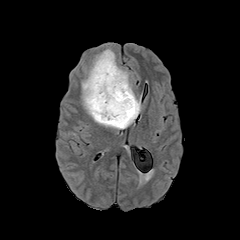
FLAIR MR.
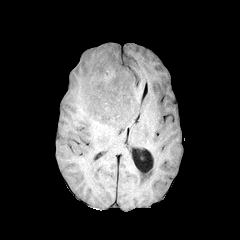
T1-weighted MR.
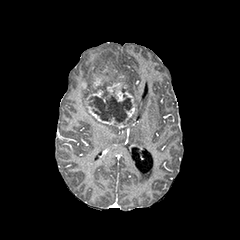
Post-contrast T1-weighted MR image of the same slice.
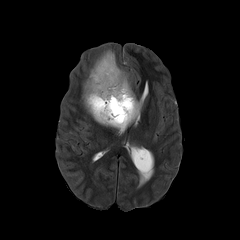
T2-weighted MRI of the same slice.
Axial slice. 240x240 px.
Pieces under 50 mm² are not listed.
Annotated regions:
• necrotic tumor core: 92 96 132 122
• peritumoral edema: 81 49 141 129
• enhancing tumor: 87 63 135 127